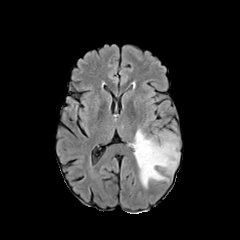
FLAIR MRI.
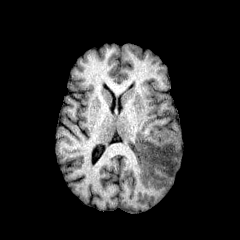
T1-weighted MRI.
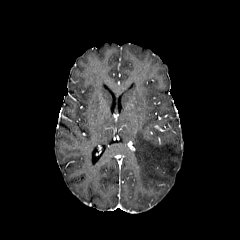
Post-contrast T1-weighted MR of the same slice.
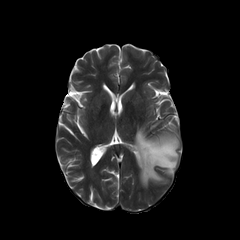
Same slice, T2-weighted MR.
Image size 240x240.
Segmented structures:
- peritumoral edema: bbox=[133, 129, 179, 188]